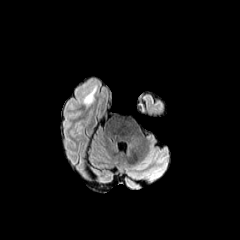
FLAIR MRI.
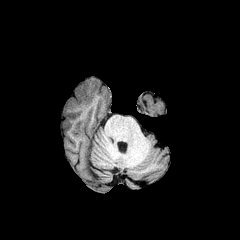
T1-weighted MR image.
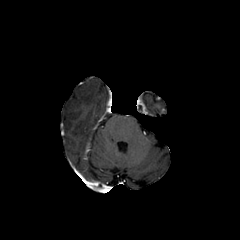
Post-contrast T1-weighted MR.
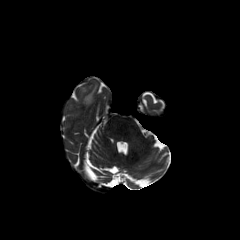
Same slice, T2-weighted MR.
Brain.
The peritumoral edema is located at {"x1": 83, "y1": 86, "x2": 96, "y2": 105}.